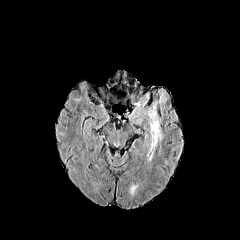
FLAIR MRI.
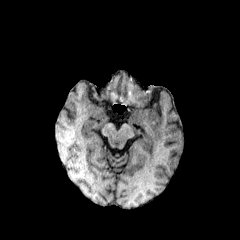
Same slice, T1-weighted MR.
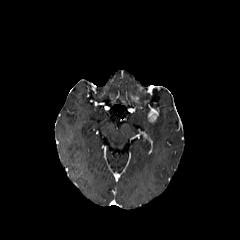
Same slice, post-contrast T1-weighted magnetic resonance.
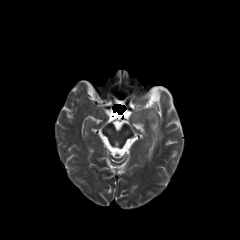
T2-weighted MR image.
Brain, Axial view
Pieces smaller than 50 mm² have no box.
enhancing_tumor:
  - {"x1": 147, "y1": 108, "x2": 158, "y2": 122}
peritumoral_edema:
  - {"x1": 149, "y1": 118, "x2": 161, "y2": 147}